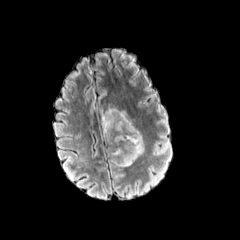
FLAIR MRI.
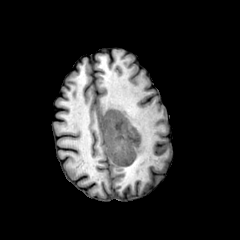
T1-weighted MR of the same slice.
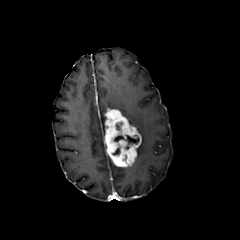
Post-contrast T1-weighted MR of the same slice.
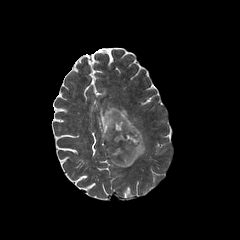
T2-weighted MR.
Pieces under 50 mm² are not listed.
{
  "peritumoral_edema": [
    "[137, 136, 143, 157]",
    "[101, 109, 106, 139]",
    "[107, 105, 135, 126]"
  ],
  "necrotic_tumor_core": [
    "[126, 135, 139, 143]"
  ],
  "enhancing_tumor": [
    "[104, 109, 141, 167]"
  ]
}